Axial plane | 240x240 px | Slice 51 of 155
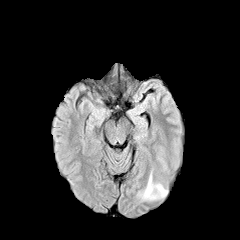
FLAIR MRI.
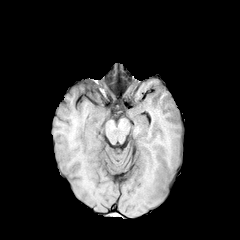
T1-weighted MR.
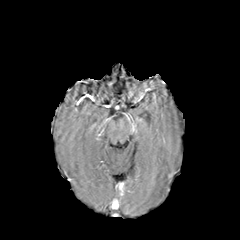
Same slice, post-contrast T1-weighted magnetic resonance.
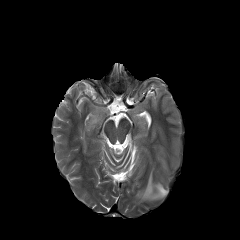
T2-weighted MR.
peritumoral edema at left=137, top=170, right=167, bottom=199